FLAIR magnetic resonance.
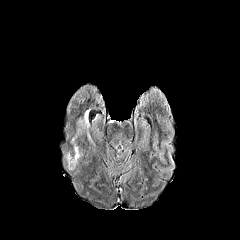
T1-weighted MR.
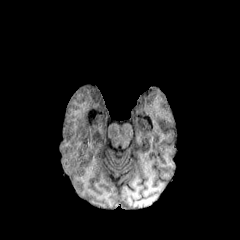
Post-contrast T1-weighted magnetic resonance.
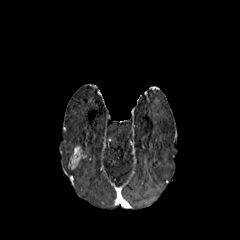
T2-weighted MR.
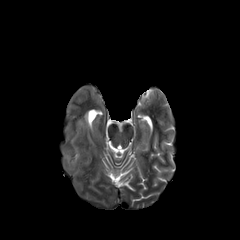
Axial slice. 240x240. Head.
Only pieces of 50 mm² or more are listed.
peritumoral edema: bounding box bbox=[78, 111, 88, 127]
enhancing tumor: bounding box bbox=[68, 145, 86, 169]